FLAIR MR.
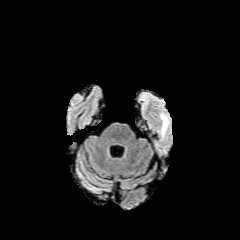
T1-weighted MRI.
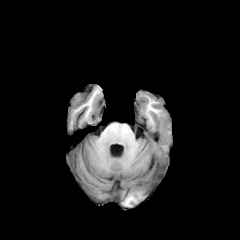
Post-contrast T1-weighted MR.
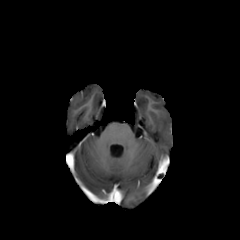
T2-weighted magnetic resonance.
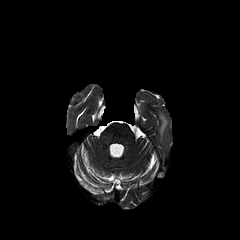
Brain, 240x240
{
  "peritumoral_edema": [
    "160,114,168,136"
  ]
}